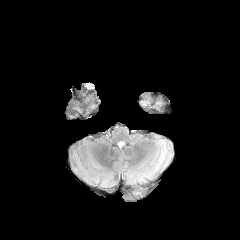
FLAIR MR.
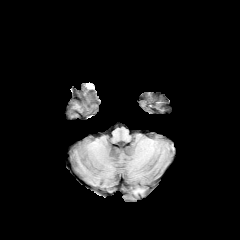
T1-weighted MR.
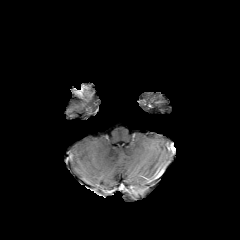
Post-contrast T1-weighted MR.
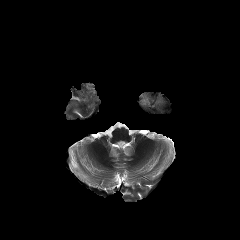
T2-weighted MRI.
Brain
peritumoral edema at box=[139, 92, 170, 112]